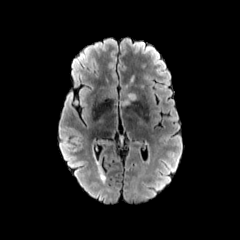
FLAIR MRI.
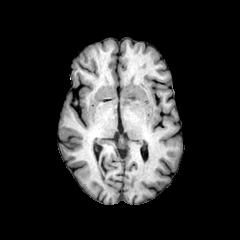
T1-weighted magnetic resonance.
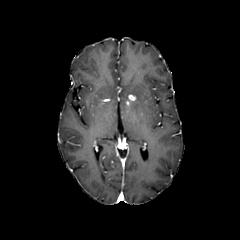
Post-contrast T1-weighted magnetic resonance.
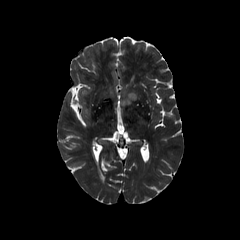
Same slice, T2-weighted MR.
Image size 240x240
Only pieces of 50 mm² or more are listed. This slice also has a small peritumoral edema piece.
The enhancing tumor is at 125, 94, 135, 104.